FLAIR MR.
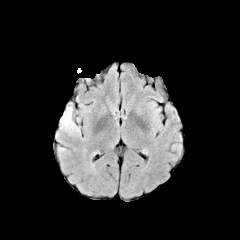
T1-weighted magnetic resonance.
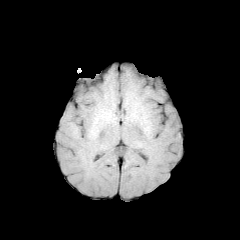
Post-contrast T1-weighted MRI.
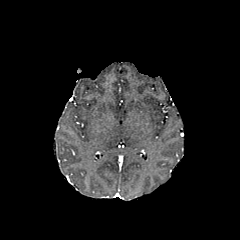
T2-weighted MR image.
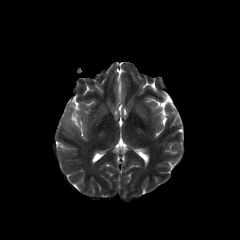
Brain, Axial view
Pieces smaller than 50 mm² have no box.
peritumoral edema: rect(60, 101, 80, 135)